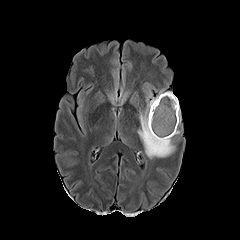
FLAIR MR image.
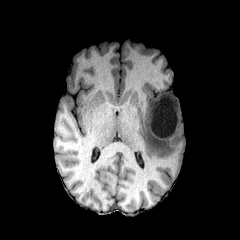
T1-weighted MRI.
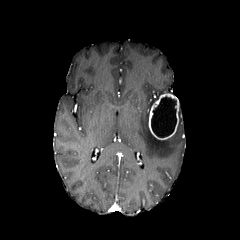
Post-contrast T1-weighted MRI of the same slice.
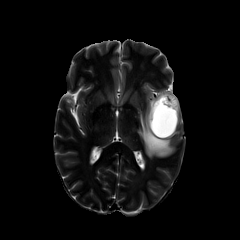
T2-weighted MR of the same slice.
Axial plane.
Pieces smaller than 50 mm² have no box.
necrotic tumor core: bounding box (151, 96, 176, 137)
enhancing tumor: bounding box (148, 93, 179, 139)
peritumoral edema: bounding box (138, 110, 175, 158), (146, 90, 164, 109)